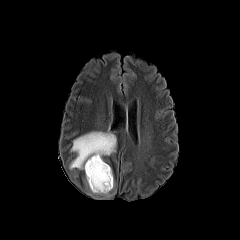
FLAIR MRI.
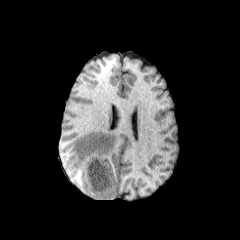
T1-weighted MRI.
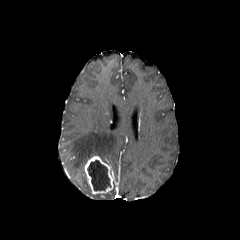
Post-contrast T1-weighted magnetic resonance.
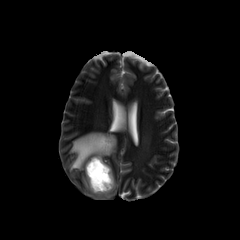
Same slice, T2-weighted MR.
Brain
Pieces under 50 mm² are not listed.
The necrotic tumor core lies within 87 160 110 190. The largest peritumoral edema region is located at 70 132 116 169. The enhancing tumor appears at 84 156 113 194.